Axial plane, 240x240 px, Head
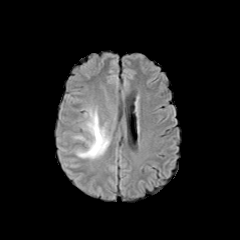
FLAIR MR image.
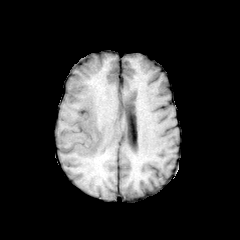
T1-weighted magnetic resonance of the same slice.
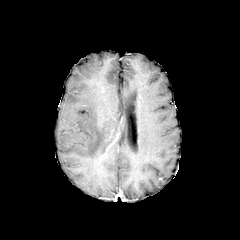
Post-contrast T1-weighted MR image.
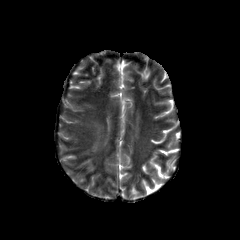
Same slice, T2-weighted MR.
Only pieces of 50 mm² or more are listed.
peritumoral edema — (77, 111, 109, 158)